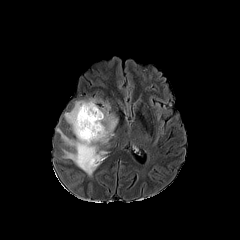
FLAIR MRI.
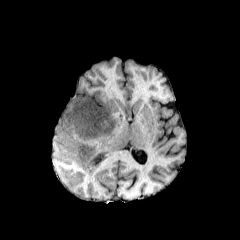
T1-weighted MR image of the same slice.
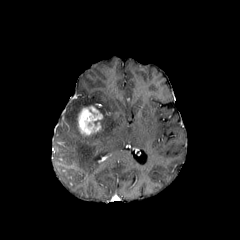
Post-contrast T1-weighted MR of the same slice.
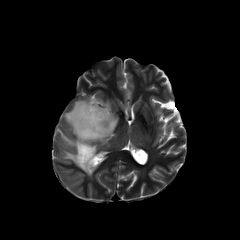
Same slice, T2-weighted magnetic resonance.
240x240 px
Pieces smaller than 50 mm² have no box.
{
  "enhancing_tumor": [
    "<box>77,105,102,135</box>"
  ],
  "peritumoral_edema": [
    "<box>56,98,117,175</box>"
  ]
}